FLAIR magnetic resonance.
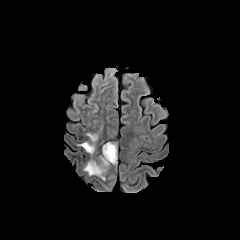
T1-weighted MR image.
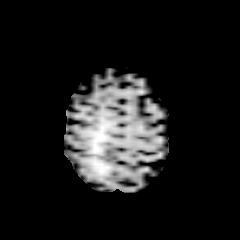
Post-contrast T1-weighted MR image.
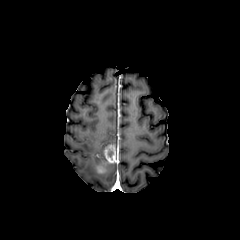
T2-weighted MR.
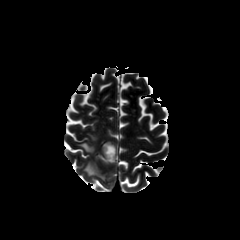
Brain. Image size 240x240. Axial plane.
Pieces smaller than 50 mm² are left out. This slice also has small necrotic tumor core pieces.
enhancing tumor: left=97, top=145, right=117, bottom=172 | peritumoral edema: left=87, top=133, right=96, bottom=141; left=79, top=142, right=95, bottom=153; left=84, top=161, right=104, bottom=179